Slice 96/155.
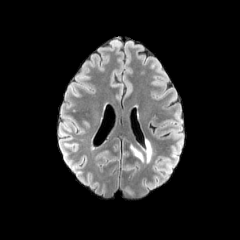
FLAIR magnetic resonance.
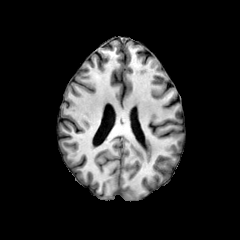
T1-weighted MR.
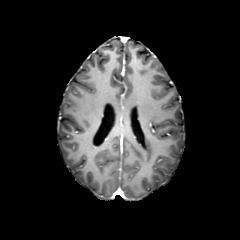
Same slice, post-contrast T1-weighted MR.
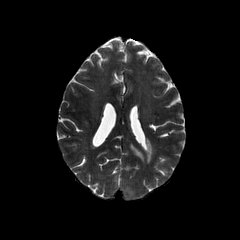
T2-weighted MR.
peritumoral edema: {"x1": 129, "y1": 138, "x2": 154, "y2": 165}